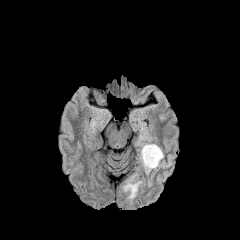
FLAIR magnetic resonance.
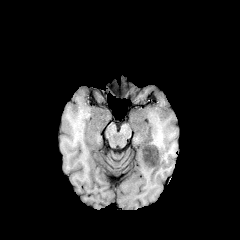
T1-weighted MRI.
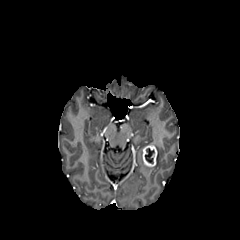
Post-contrast T1-weighted MR image.
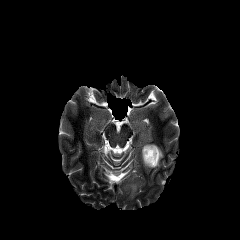
T2-weighted magnetic resonance.
Axial view. Brain.
Annotated regions:
- enhancing tumor: <box>142,145,157,166</box>
- peritumoral edema: <box>123,175,141,199</box>, <box>140,143,163,173</box>
- necrotic tumor core: <box>145,148,154,163</box>